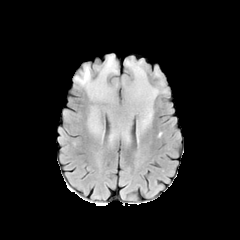
FLAIR MR image.
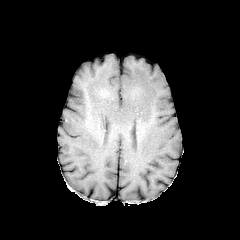
T1-weighted MR.
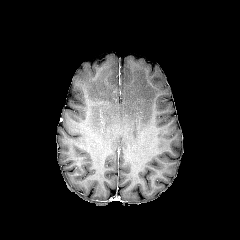
Post-contrast T1-weighted MR of the same slice.
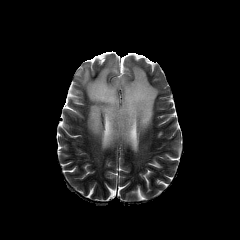
T2-weighted magnetic resonance.
Brain
peritumoral edema at (x1=155, y1=70, x2=163, y2=86), (x1=75, y1=55, x2=165, y2=142)